Image size 240x240. Brain.
FLAIR MR image.
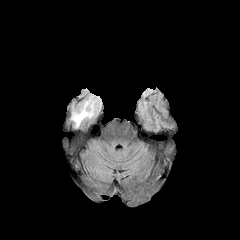
T1-weighted MRI.
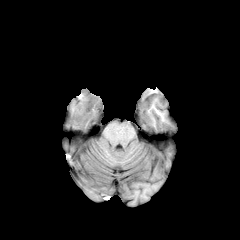
Post-contrast T1-weighted MR.
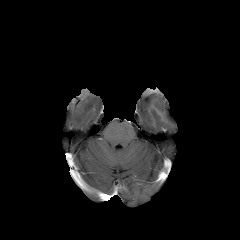
T2-weighted magnetic resonance.
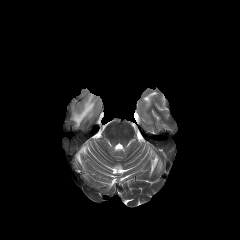
Segmented structures:
- peritumoral edema: (left=71, top=90, right=101, bottom=127)